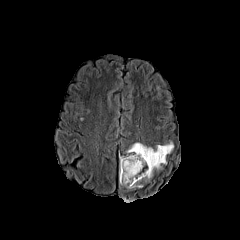
FLAIR MR.
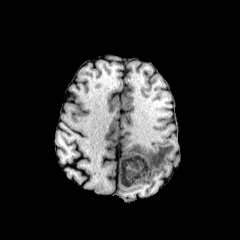
T1-weighted MR.
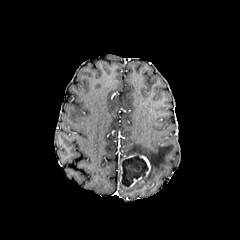
Same slice, post-contrast T1-weighted MR image.
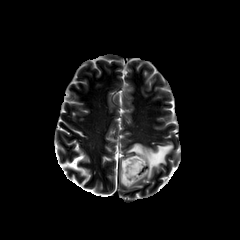
Same slice, T2-weighted MR.
Axial slice
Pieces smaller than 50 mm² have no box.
<segmentation>
  <necrotic_tumor_core>(122,155,147,186)</necrotic_tumor_core>
  <peritumoral_edema>(126,142,173,179), (128,182,142,189)</peritumoral_edema>
  <enhancing_tumor>(119,154,150,188)</enhancing_tumor>
</segmentation>